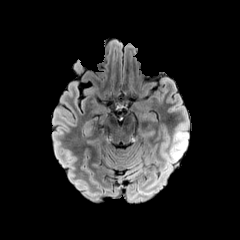
FLAIR MR.
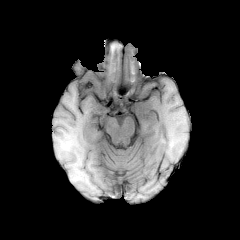
T1-weighted MR.
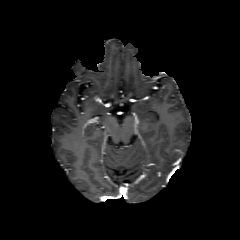
Post-contrast T1-weighted MR image.
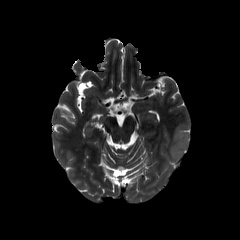
T2-weighted MR of the same slice.
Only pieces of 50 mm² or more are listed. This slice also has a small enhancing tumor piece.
peritumoral edema — box(163, 124, 188, 168)